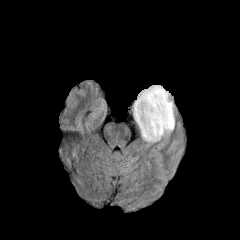
FLAIR MRI.
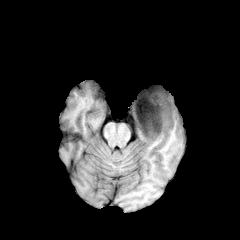
T1-weighted MR of the same slice.
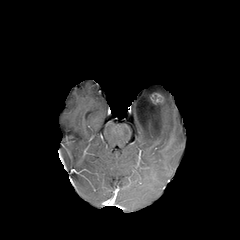
Post-contrast T1-weighted MR.
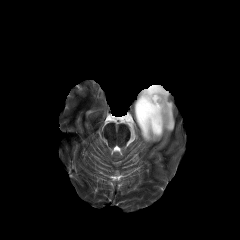
Same slice, T2-weighted MR.
Brain. Axial view.
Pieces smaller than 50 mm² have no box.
peritumoral edema: box=[133, 85, 174, 143]
enhancing tumor: box=[135, 87, 167, 134]
necrotic tumor core: box=[137, 88, 165, 132]